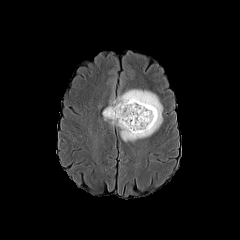
FLAIR MR image.
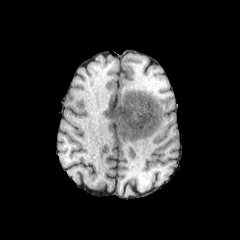
Same slice, T1-weighted MR image.
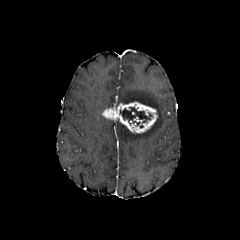
Post-contrast T1-weighted MR of the same slice.
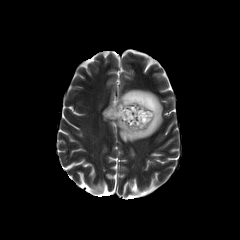
T2-weighted MR image.
Head
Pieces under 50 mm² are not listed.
Findings:
• enhancing tumor: 102,101,157,133
• peritumoral edema: 104,89,162,141
• necrotic tumor core: 120,107,152,125